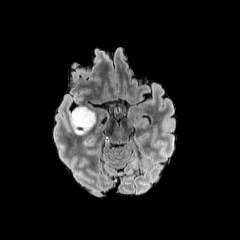
FLAIR MRI.
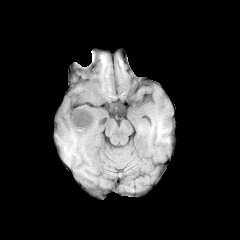
Same slice, T1-weighted MRI.
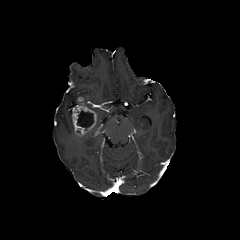
Post-contrast T1-weighted MR.
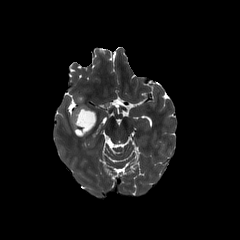
T2-weighted magnetic resonance.
Axial slice
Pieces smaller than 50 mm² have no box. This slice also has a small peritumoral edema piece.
The necrotic tumor core is bounded by 77:110:93:128. The enhancing tumor is at 72:96:96:136.